Axial plane
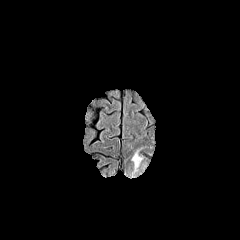
FLAIR MR.
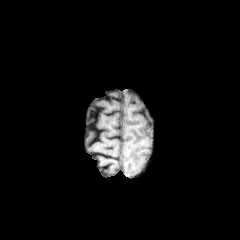
Same slice, T1-weighted MR.
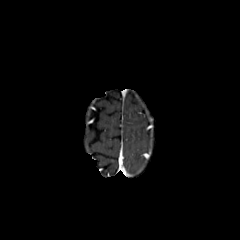
Post-contrast T1-weighted magnetic resonance.
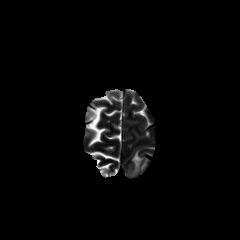
T2-weighted MR image.
{
  "peritumoral_edema": [
    "box(132, 153, 141, 167)"
  ]
}